240x240. Axial slice. Image width 240 mm, 1.00 mm slice spacing. Slice 90/155.
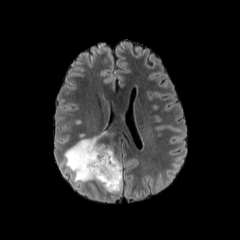
FLAIR magnetic resonance.
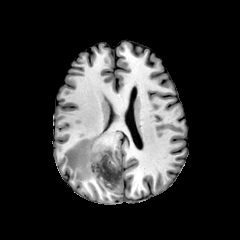
T1-weighted MRI.
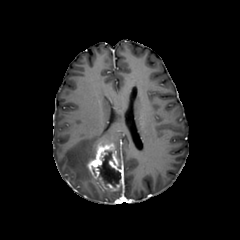
Post-contrast T1-weighted MRI.
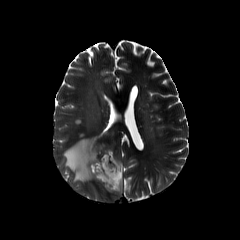
Same slice, T2-weighted magnetic resonance.
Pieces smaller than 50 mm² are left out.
enhancing_tumor:
  - [87,142,122,190]
necrotic_tumor_core:
  - [98,150,120,187]
peritumoral_edema:
  - [64,136,101,185]
  - [105,186,122,193]